FLAIR magnetic resonance.
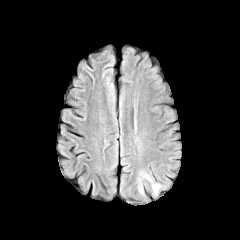
T1-weighted MR image.
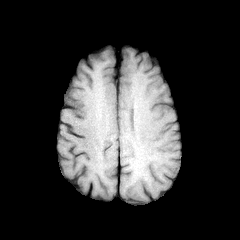
Post-contrast T1-weighted MR.
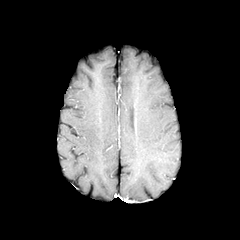
T2-weighted MR.
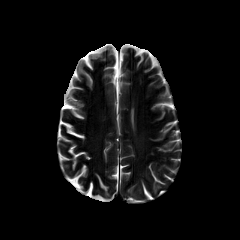
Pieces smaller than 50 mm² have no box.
<segmentation>
  <peritumoral_edema>bbox(141, 173, 160, 194)</peritumoral_edema>
</segmentation>